Axial slice. Brain.
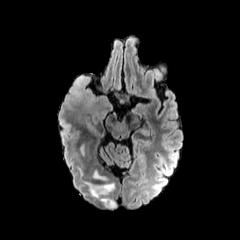
FLAIR magnetic resonance.
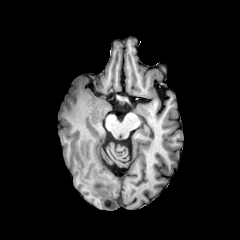
T1-weighted magnetic resonance.
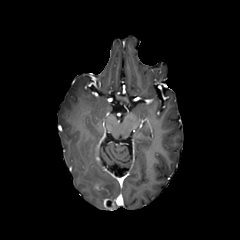
Post-contrast T1-weighted MR.
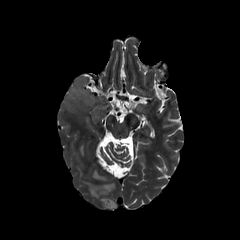
T2-weighted MRI of the same slice.
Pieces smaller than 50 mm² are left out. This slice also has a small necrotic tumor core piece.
{
  "enhancing_tumor": [
    "rect(94, 183, 102, 189)",
    "rect(103, 198, 113, 208)"
  ],
  "peritumoral_edema": [
    "rect(90, 171, 114, 197)",
    "rect(70, 75, 94, 105)"
  ]
}